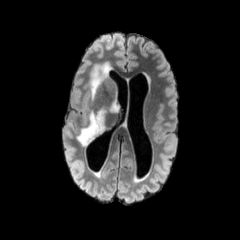
FLAIR MR image.
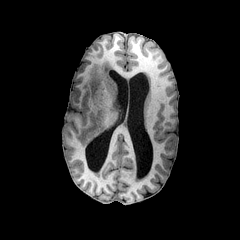
T1-weighted MR image of the same slice.
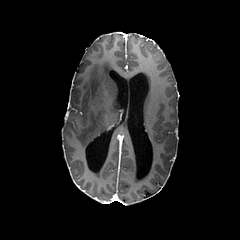
Post-contrast T1-weighted MR image of the same slice.
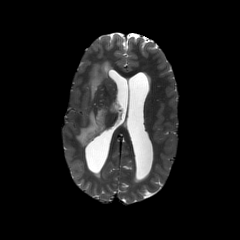
Same slice, T2-weighted MR image.
Axial view; Brain; Image size 240x240
Annotated regions:
* peritumoral edema: (89, 61, 111, 99), (110, 100, 119, 112), (76, 108, 106, 146)